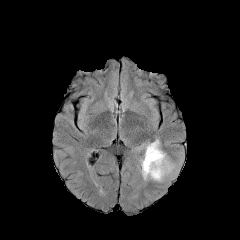
FLAIR MRI.
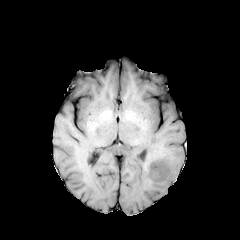
Same slice, T1-weighted MR image.
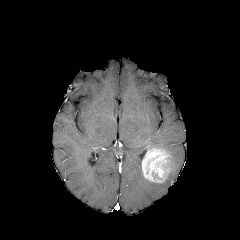
Post-contrast T1-weighted MR image.
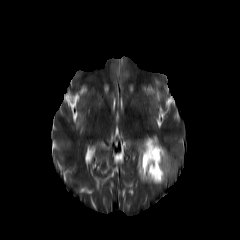
T2-weighted MR.
Axial slice | Head | 240x240 px
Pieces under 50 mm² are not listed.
{"peritumoral_edema": ["(136,137,162,181)", "(165,158,179,181)"], "enhancing_tumor": ["(142,147,172,182)"]}